FLAIR magnetic resonance.
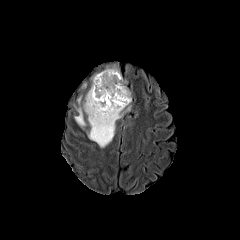
T1-weighted MR.
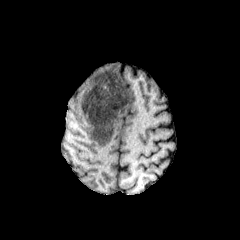
Post-contrast T1-weighted MR image.
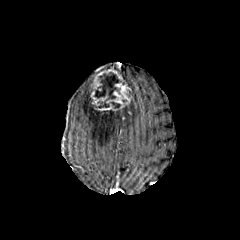
T2-weighted MR.
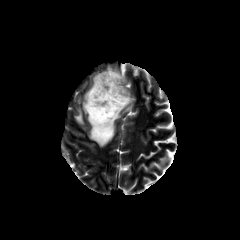
Image size 240x240, Brain, Axial view
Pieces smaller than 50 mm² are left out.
<segmentation>
  <necrotic_tumor_core>[x1=110, y1=101, x2=120, y2=108], [x1=91, y1=72, x2=121, y2=108]</necrotic_tumor_core>
  <enhancing_tumor>[x1=90, y1=67, x2=132, y2=110]</enhancing_tumor>
  <peritumoral_edema>[x1=84, y1=91, x2=130, y2=147], [x1=75, y1=108, x2=85, y2=126]</peritumoral_edema>
</segmentation>